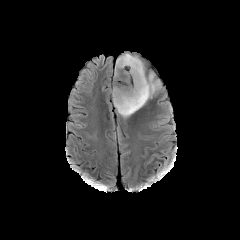
FLAIR MR.
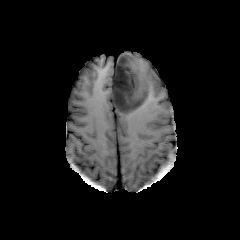
T1-weighted magnetic resonance.
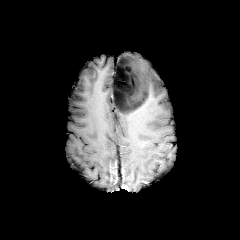
Same slice, post-contrast T1-weighted MR image.
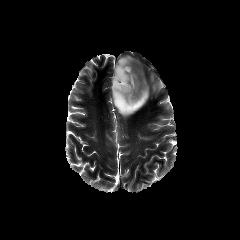
T2-weighted MR.
Head
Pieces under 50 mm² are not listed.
The largest peritumoral edema region appears at (left=112, top=53, right=160, bottom=117). The necrotic tumor core is bounded by (left=113, top=57, right=147, bottom=111).